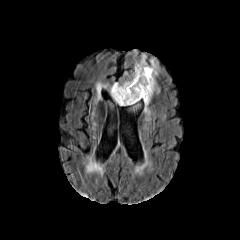
FLAIR MRI.
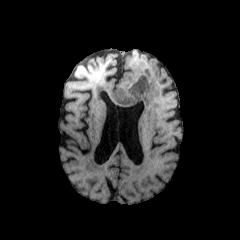
Same slice, T1-weighted magnetic resonance.
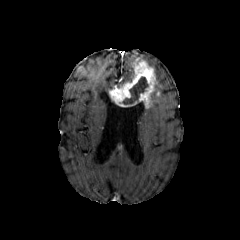
Post-contrast T1-weighted MRI.
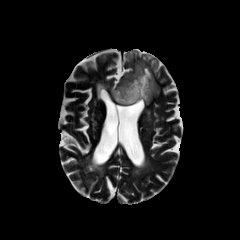
Same slice, T2-weighted MRI.
Axial view | Head
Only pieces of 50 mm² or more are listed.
necrotic tumor core at (left=122, top=77, right=148, bottom=104)
enhancing tumor at (left=109, top=60, right=156, bottom=107)
peritumoral edema at (left=149, top=58, right=159, bottom=76), (left=109, top=68, right=133, bottom=90), (left=132, top=54, right=146, bottom=66)